Head; Axial view; Image width 240 mm, 1.00 mm slice spacing
FLAIR MR.
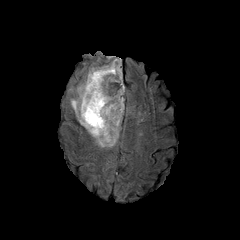
T1-weighted MRI.
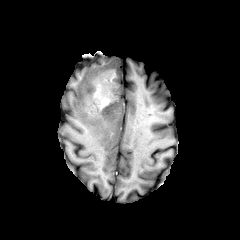
Post-contrast T1-weighted MRI.
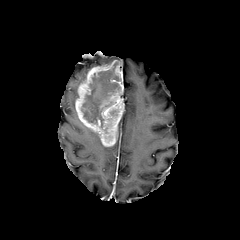
T2-weighted MR image.
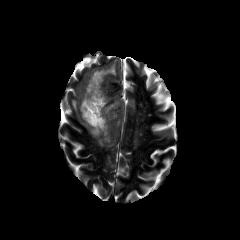
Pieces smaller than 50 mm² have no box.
enhancing tumor: 75 60 124 146
necrotic tumor core: 81 62 119 127
peritumoral edema: 70 85 104 147